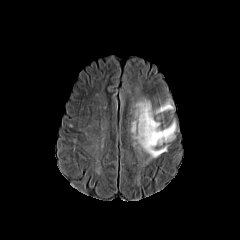
FLAIR MR image.
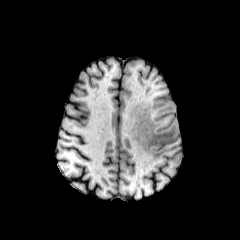
T1-weighted MR image.
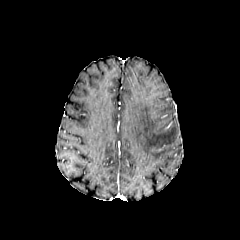
Same slice, post-contrast T1-weighted magnetic resonance.
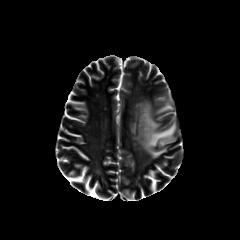
T2-weighted MR image of the same slice.
Brain.
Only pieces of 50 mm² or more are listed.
The largest peritumoral edema region is located at x1=131 y1=99 x2=176 y2=158.